Head; Slice 101 of 155
FLAIR MR.
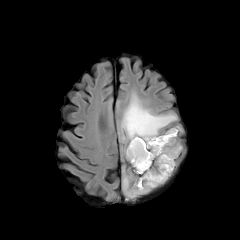
T1-weighted magnetic resonance.
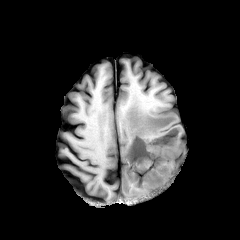
Post-contrast T1-weighted magnetic resonance.
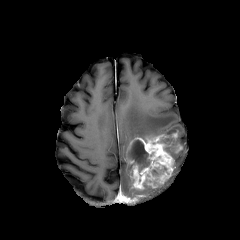
T2-weighted MR.
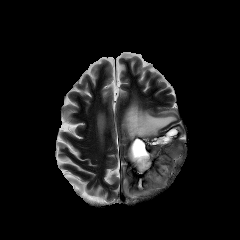
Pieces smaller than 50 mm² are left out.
peritumoral_edema:
  - x1=121, y1=97, x2=176, y2=141
  - x1=165, y1=127, x2=180, y2=134
  - x1=123, y1=175, x2=152, y2=198
  - x1=165, y1=147, x2=177, y2=158
enhancing_tumor:
  - x1=127, y1=131, x2=182, y2=189
necrotic_tumor_core:
  - x1=128, y1=140, x2=149, y2=170